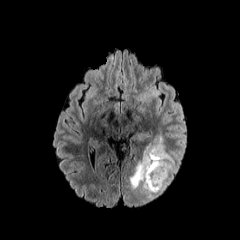
FLAIR magnetic resonance.
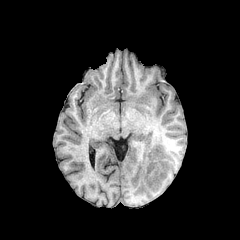
T1-weighted magnetic resonance of the same slice.
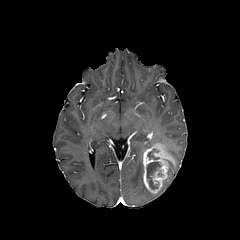
Same slice, post-contrast T1-weighted magnetic resonance.
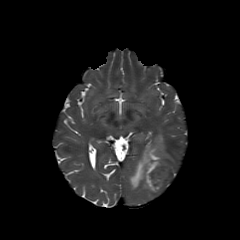
Same slice, T2-weighted MR image.
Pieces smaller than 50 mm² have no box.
Segmented structures:
- enhancing tumor: [x1=142, y1=143, x2=174, y2=193]
- peritumoral edema: [x1=145, y1=134, x2=165, y2=148], [x1=129, y1=156, x2=162, y2=198]
- necrotic tumor core: [x1=146, y1=161, x2=163, y2=189], [x1=147, y1=148, x2=159, y2=159]